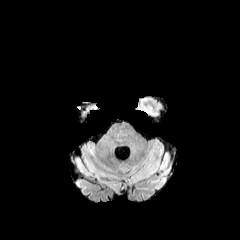
FLAIR MRI.
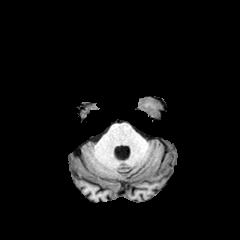
T1-weighted MRI of the same slice.
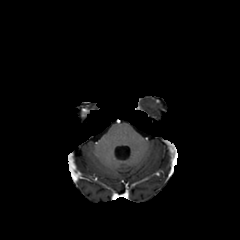
Same slice, post-contrast T1-weighted magnetic resonance.
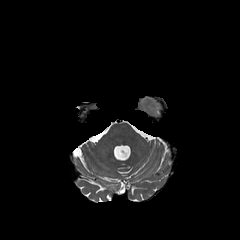
T2-weighted MR of the same slice.
Axial view
peritumoral edema at [141, 98, 152, 113]